FLAIR MR.
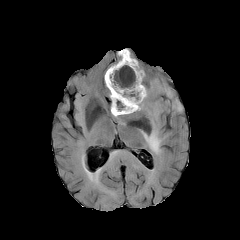
T1-weighted MR image.
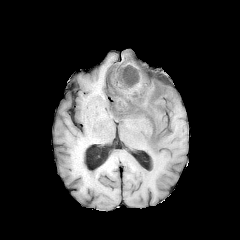
Post-contrast T1-weighted MRI.
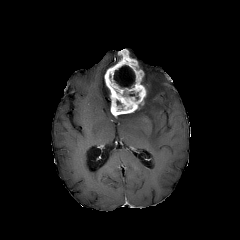
T2-weighted MRI.
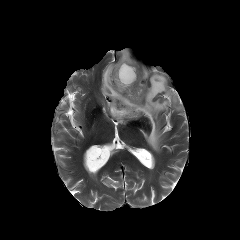
Axial plane; Brain
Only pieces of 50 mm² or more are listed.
Annotated regions:
- necrotic tumor core: bbox(113, 65, 135, 88)
- enhancing tumor: bbox(104, 49, 146, 117)
- peritumoral edema: bbox(112, 77, 182, 154)